Brain.
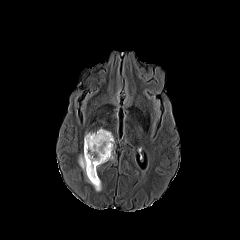
FLAIR MRI.
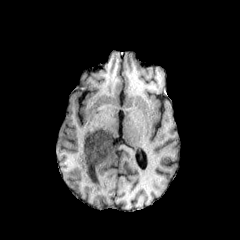
Same slice, T1-weighted MR.
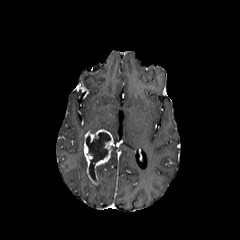
Post-contrast T1-weighted MR.
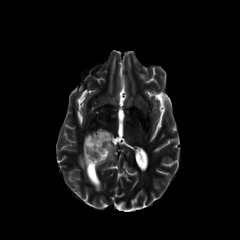
Same slice, T2-weighted MRI.
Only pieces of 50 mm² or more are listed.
necrotic tumor core: 86 132 110 181 | peritumoral edema: 78 154 101 191 | enhancing tumor: 84 129 113 185